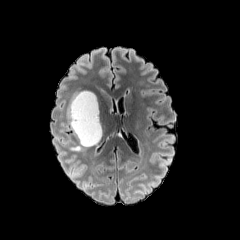
FLAIR magnetic resonance.
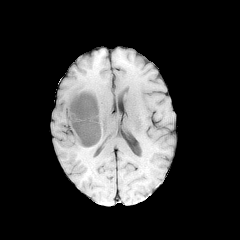
Same slice, T1-weighted MR image.
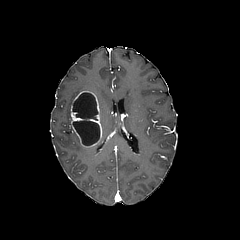
Post-contrast T1-weighted MR.
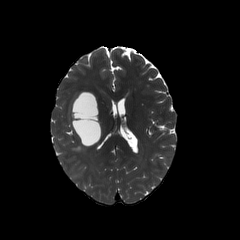
T2-weighted magnetic resonance.
240x240 px; Axial plane
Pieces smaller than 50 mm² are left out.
Findings:
• enhancing tumor: 70, 90, 101, 147
• peritumoral edema: 70, 144, 85, 151; 68, 92, 78, 124
• necrotic tumor core: 73, 93, 97, 120; 73, 120, 99, 145